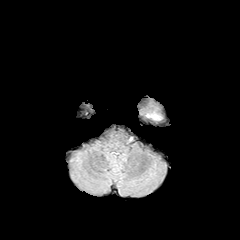
FLAIR MR image.
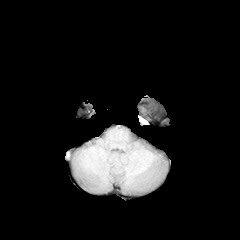
T1-weighted magnetic resonance of the same slice.
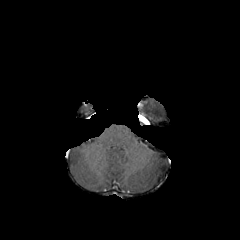
Same slice, post-contrast T1-weighted magnetic resonance.
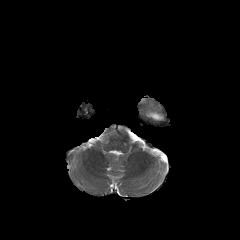
T2-weighted magnetic resonance of the same slice.
240x240 px; Brain
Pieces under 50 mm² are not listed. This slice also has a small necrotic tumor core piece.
The peritumoral edema is located at <box>147,113,161,120</box>.